240x240
FLAIR magnetic resonance.
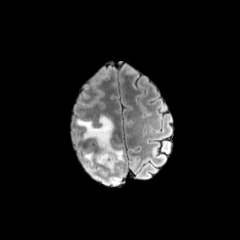
T1-weighted MR.
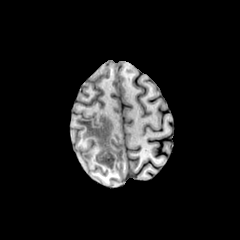
Post-contrast T1-weighted MR image.
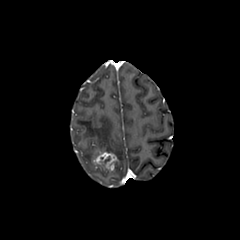
T2-weighted MRI.
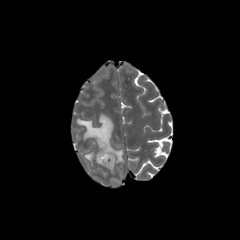
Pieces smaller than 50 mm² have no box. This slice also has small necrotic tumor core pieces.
{
  "peritumoral_edema": [
    "(x1=84, y1=153, x2=96, y2=165)",
    "(x1=110, y1=177, x2=119, y2=182)",
    "(x1=76, y1=115, x2=124, y2=173)"
  ],
  "enhancing_tumor": [
    "(x1=93, y1=148, x2=117, y2=173)"
  ]
}